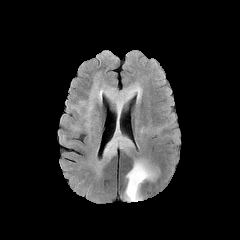
FLAIR MR.
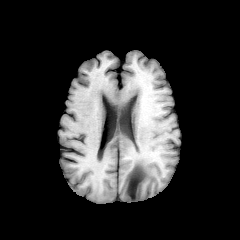
Same slice, T1-weighted magnetic resonance.
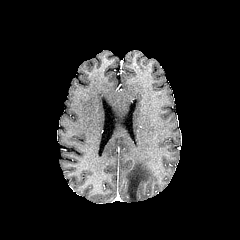
Same slice, post-contrast T1-weighted MR.
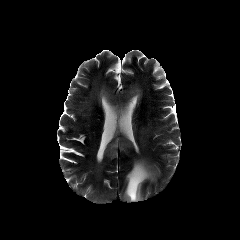
Same slice, T2-weighted magnetic resonance.
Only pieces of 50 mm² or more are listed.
Findings:
- peritumoral edema: x1=124, y1=159, x2=157, y2=201; x1=103, y1=84, x2=141, y2=160